240x240.
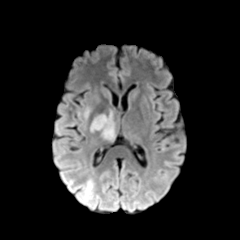
FLAIR MR image.
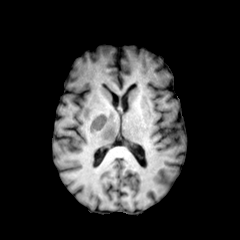
T1-weighted magnetic resonance.
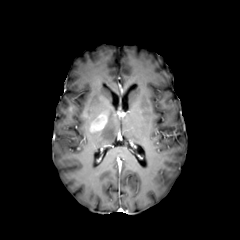
Same slice, post-contrast T1-weighted MRI.
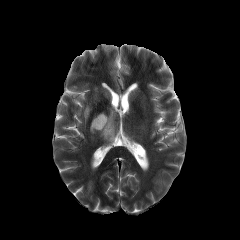
T2-weighted magnetic resonance.
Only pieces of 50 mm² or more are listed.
{"peritumoral_edema": ["101 112 115 140"], "enhancing_tumor": ["90 114 107 131"]}